Image size 240x240 | Head
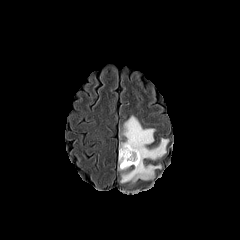
FLAIR MRI.
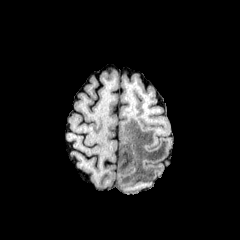
T1-weighted MR image of the same slice.
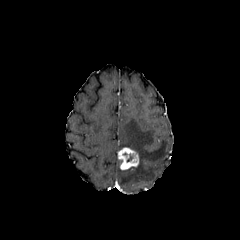
Same slice, post-contrast T1-weighted MRI.
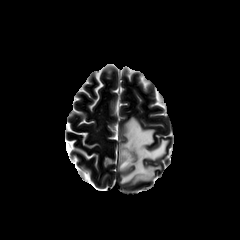
T2-weighted magnetic resonance of the same slice.
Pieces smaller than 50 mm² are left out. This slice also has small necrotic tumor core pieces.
The peritumoral edema lies within 118:116:168:183. The enhancing tumor lies within 118:147:139:169.